Head
FLAIR MR image.
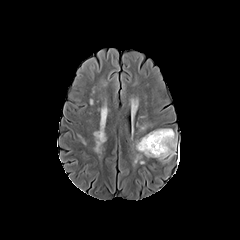
T1-weighted MR.
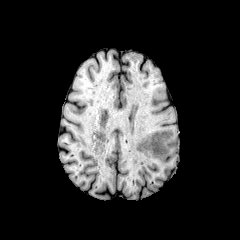
Post-contrast T1-weighted MRI.
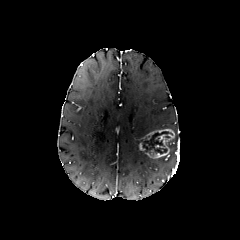
T2-weighted MRI.
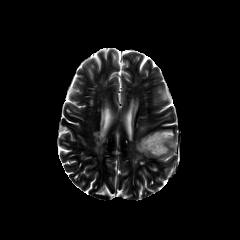
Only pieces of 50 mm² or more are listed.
enhancing tumor at <box>142,129,174,158</box>
necrotic tumor core at <box>142,131,172,153</box>
peritumoral edema at <box>166,133,178,159</box>, <box>135,138,148,162</box>